Brain; 240x240 px
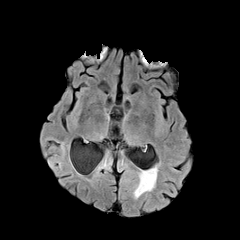
FLAIR magnetic resonance.
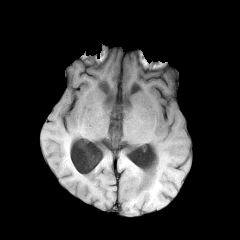
T1-weighted MR of the same slice.
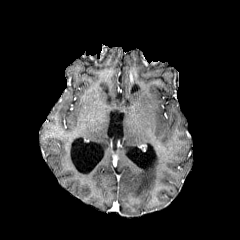
Same slice, post-contrast T1-weighted MRI.
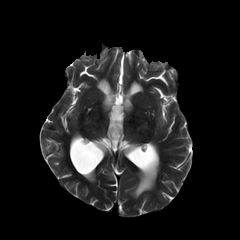
T2-weighted MR.
peritumoral edema = bbox(132, 165, 157, 198)